Head. Axial plane. Image width 240 mm, 1.00 mm slice spacing. Slice index 68.
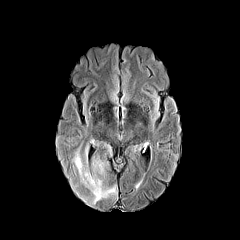
FLAIR magnetic resonance.
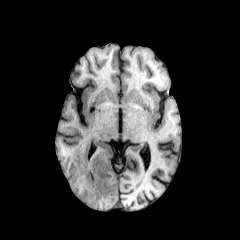
T1-weighted magnetic resonance.
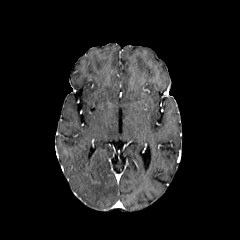
Post-contrast T1-weighted MR of the same slice.
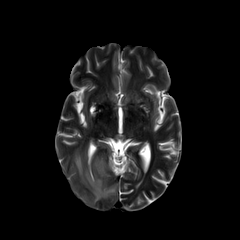
T2-weighted MR of the same slice.
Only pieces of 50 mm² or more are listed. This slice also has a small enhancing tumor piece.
{"peritumoral_edema": ["84:147:87:163", "72:149:117:203"]}